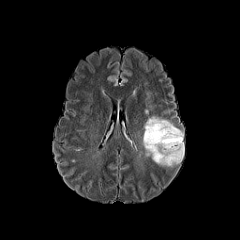
FLAIR MR image.
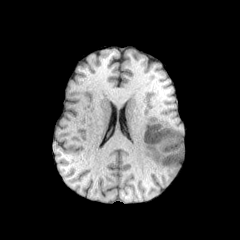
T1-weighted MR image.
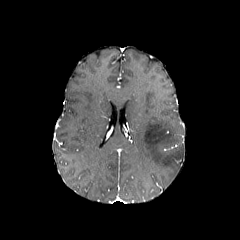
Post-contrast T1-weighted MRI of the same slice.
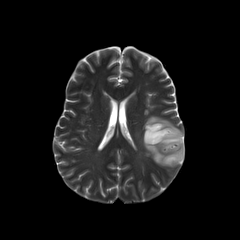
Same slice, T2-weighted MRI.
Brain | 240x240
peritumoral_edema:
  - {"x1": 143, "y1": 116, "x2": 184, "y2": 166}